Brain | Axial plane
FLAIR MR image.
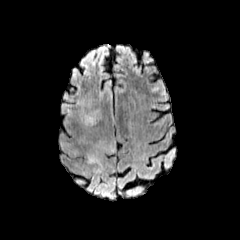
T1-weighted MRI.
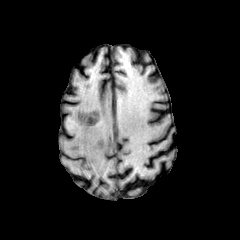
Post-contrast T1-weighted MR image.
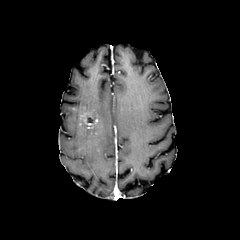
T2-weighted MRI.
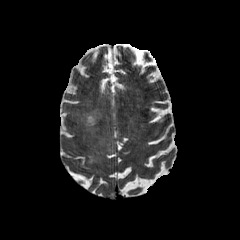
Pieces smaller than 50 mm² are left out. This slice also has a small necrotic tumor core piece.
The peritumoral edema appears at (x1=88, y1=141, x2=112, y2=163). The enhancing tumor is located at (x1=79, y1=111, x2=98, y2=128).